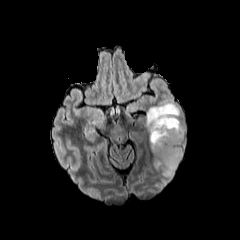
FLAIR MR image.
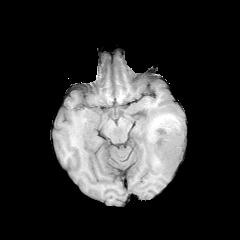
T1-weighted MR image.
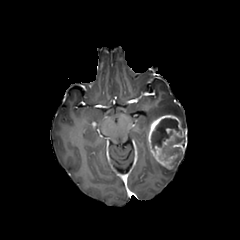
Post-contrast T1-weighted MR.
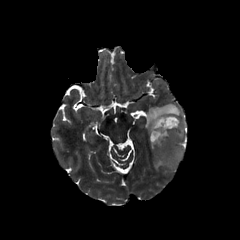
T2-weighted magnetic resonance.
Axial slice
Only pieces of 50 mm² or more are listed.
Segmented structures:
* peritumoral edema: (left=146, top=102, right=180, bottom=130), (left=154, top=154, right=182, bottom=177)
* necrotic tumor core: (left=151, top=118, right=178, bottom=150)
* enhancing tumor: (left=147, top=114, right=186, bottom=168)